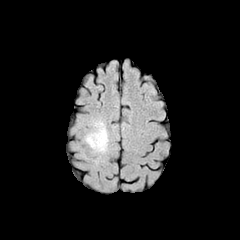
FLAIR MR image.
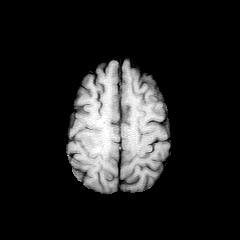
T1-weighted magnetic resonance.
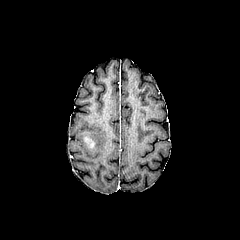
Post-contrast T1-weighted MR of the same slice.
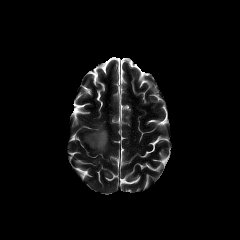
T2-weighted MR image.
Image size 240x240, Axial slice
The enhancing tumor is located at 84, 137, 95, 147. 2 peritumoral edema regions appear at 85, 122, 108, 152; 94, 156, 101, 166.